FLAIR MR.
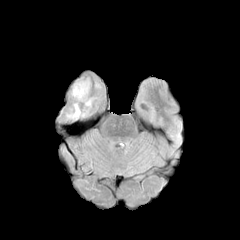
T1-weighted MR image.
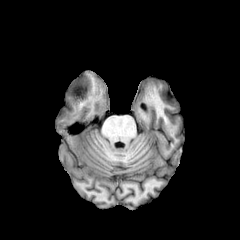
Post-contrast T1-weighted MR.
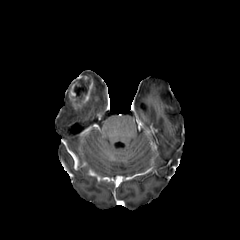
T2-weighted MR image.
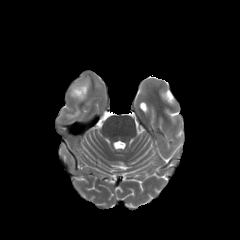
Brain.
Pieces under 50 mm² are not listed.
enhancing_tumor:
  - x1=70 y1=77 x2=92 y2=108
necrotic_tumor_core:
  - x1=74 y1=80 x2=89 y2=103
peritumoral_edema:
  - x1=67 y1=107 x2=80 y2=118